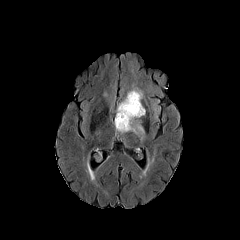
FLAIR magnetic resonance.
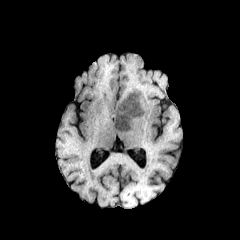
Same slice, T1-weighted MR image.
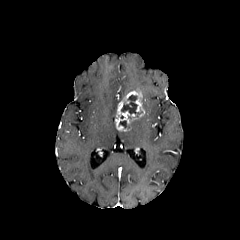
Post-contrast T1-weighted MRI.
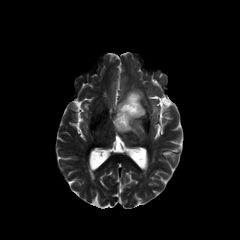
Same slice, T2-weighted magnetic resonance.
240x240 | Head
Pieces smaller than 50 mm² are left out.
necrotic tumor core: bounding box box(121, 94, 142, 116); box(119, 120, 129, 128)
enhancing tumor: bounding box box(115, 91, 144, 131)
peritumoral edema: bounding box box(130, 119, 144, 139)